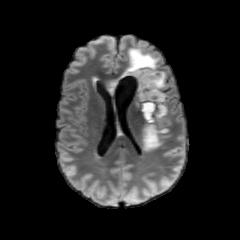
FLAIR MRI.
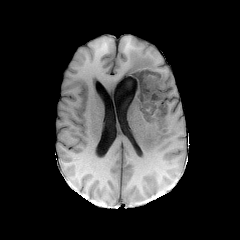
Same slice, T1-weighted MRI.
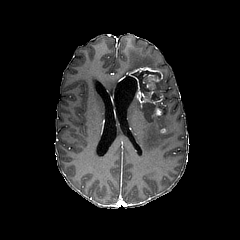
Same slice, post-contrast T1-weighted MR image.
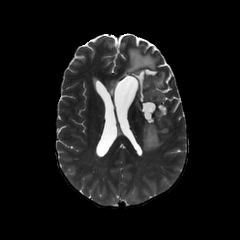
Same slice, T2-weighted magnetic resonance.
Head.
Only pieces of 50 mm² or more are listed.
enhancing tumor: {"x1": 155, "y1": 107, "x2": 163, "y2": 115}, {"x1": 126, "y1": 67, "x2": 163, "y2": 106} | necrotic tumor core: {"x1": 149, "y1": 81, "x2": 162, "y2": 100}, {"x1": 142, "y1": 102, "x2": 154, "y2": 121}, {"x1": 132, "y1": 70, "x2": 160, "y2": 96} | peritumoral edema: {"x1": 158, "y1": 71, "x2": 165, "y2": 89}, {"x1": 143, "y1": 122, "x2": 163, "y2": 151}, {"x1": 106, "y1": 47, "x2": 158, "y2": 94}, {"x1": 155, "y1": 101, "x2": 166, "y2": 118}